FLAIR MRI.
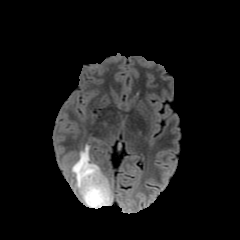
T1-weighted magnetic resonance.
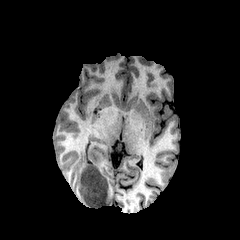
Post-contrast T1-weighted MR image.
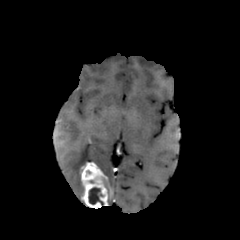
T2-weighted MRI.
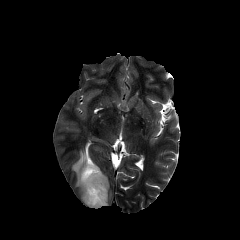
Brain
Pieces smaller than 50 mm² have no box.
The enhancing tumor is located at region(80, 162, 112, 208). The largest necrotic tumor core region appears at region(88, 187, 103, 205). The largest peritumoral edema region lies within region(72, 145, 91, 196).